Image size 240x240.
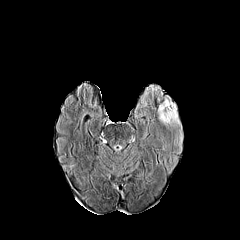
FLAIR MR.
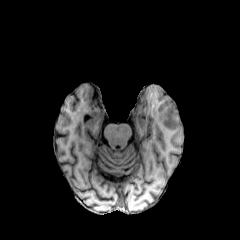
T1-weighted MRI of the same slice.
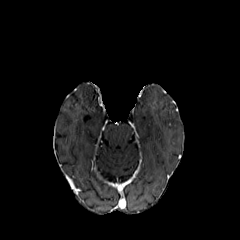
Same slice, post-contrast T1-weighted magnetic resonance.
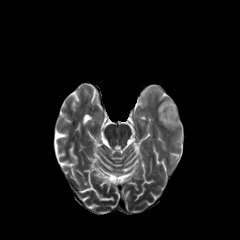
Same slice, T2-weighted magnetic resonance.
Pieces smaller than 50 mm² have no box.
Annotated regions:
- peritumoral edema: (left=158, top=96, right=181, bottom=128)